FLAIR MR.
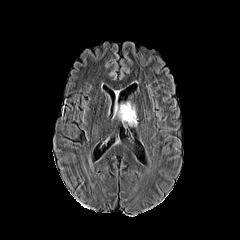
T1-weighted MRI.
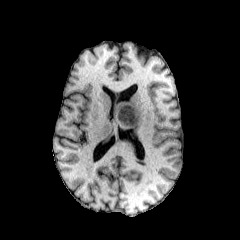
Post-contrast T1-weighted magnetic resonance.
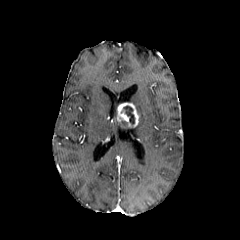
T2-weighted MR image.
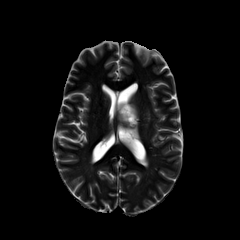
Axial slice; Brain
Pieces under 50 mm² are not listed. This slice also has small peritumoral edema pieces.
<segmentation>
  <enhancing_tumor>left=117, top=102, right=138, bottom=127</enhancing_tumor>
  <necrotic_tumor_core>left=123, top=106, right=134, bottom=124</necrotic_tumor_core>
</segmentation>